240x240 px; Axial view
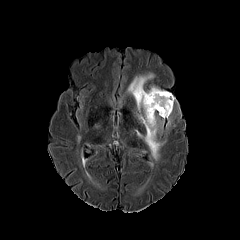
FLAIR magnetic resonance.
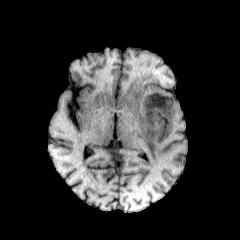
T1-weighted MRI.
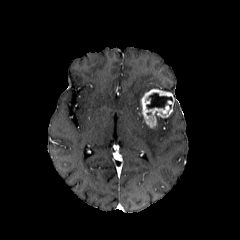
Post-contrast T1-weighted MRI.
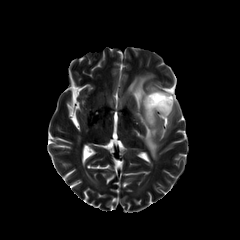
Same slice, T2-weighted magnetic resonance.
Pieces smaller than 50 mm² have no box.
The largest necrotic tumor core region is at (x1=147, y1=93, x2=172, y2=108). The enhancing tumor appears at (x1=140, y1=89, x2=174, y2=128). The 2 largest peritumoral edema regions are bounded by (x1=135, y1=114, x2=164, y2=160), (x1=127, y1=73, x2=153, y2=112).